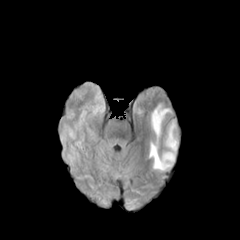
FLAIR MR.
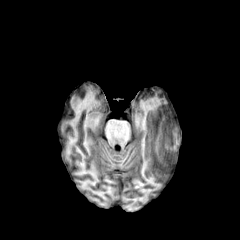
Same slice, T1-weighted MRI.
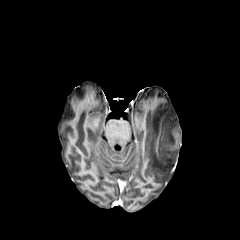
Post-contrast T1-weighted MR image of the same slice.
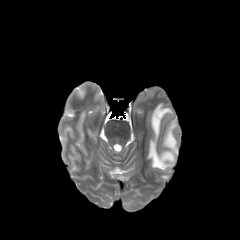
T2-weighted magnetic resonance.
Brain
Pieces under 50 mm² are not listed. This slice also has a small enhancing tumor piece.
necrotic tumor core: bounding box bbox=[160, 137, 175, 159]
peritumoral edema: bounding box bbox=[149, 104, 177, 170]